Brain; Axial plane; 240x240 px
FLAIR MR.
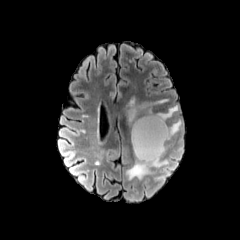
T1-weighted MR.
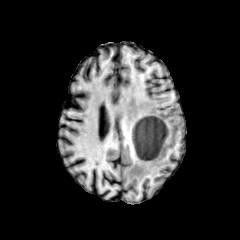
Post-contrast T1-weighted MR image.
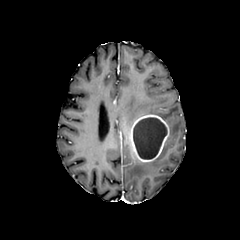
T2-weighted MRI.
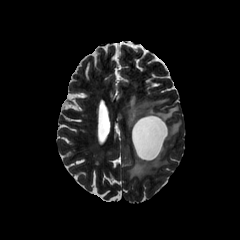
Annotated regions:
- peritumoral edema: (left=127, top=146, right=168, bottom=179), (left=167, top=120, right=181, bottom=139), (left=123, top=97, right=178, bottom=127)
- enhancing tumor: (left=130, top=114, right=169, bottom=162)
- necrotic tumor core: (left=133, top=118, right=166, bottom=159)